Slice 66/155
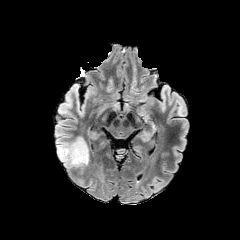
FLAIR MRI.
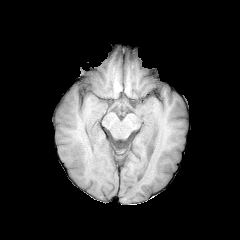
T1-weighted MR image.
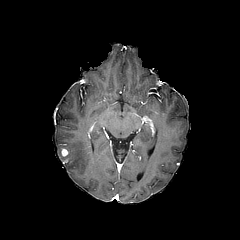
Post-contrast T1-weighted MR.
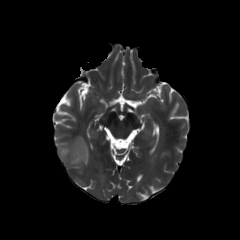
Same slice, T2-weighted MRI.
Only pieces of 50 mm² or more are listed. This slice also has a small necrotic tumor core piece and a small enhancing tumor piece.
<segmentation>
  <peritumoral_edema>[57,137,89,167]</peritumoral_edema>
</segmentation>